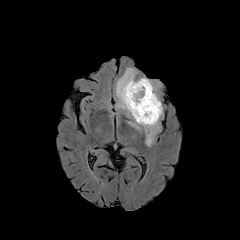
FLAIR MR.
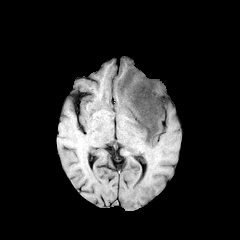
Same slice, T1-weighted MRI.
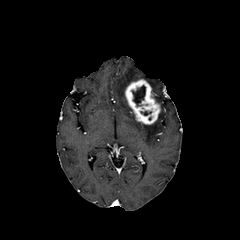
Post-contrast T1-weighted MR.
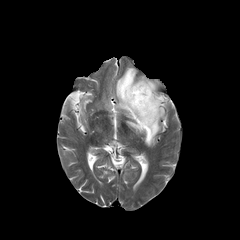
Same slice, T2-weighted magnetic resonance.
240x240; Axial slice
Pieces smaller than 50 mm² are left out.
The enhancing tumor appears at 125 79 160 124. The largest necrotic tumor core region appears at 132 86 145 105. The 3 largest peritumoral edema regions are located at 140 77 159 92, 116 67 137 119, 128 104 162 146.